FLAIR MR.
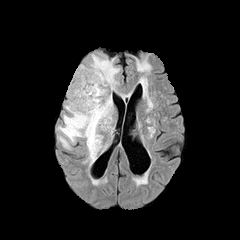
T1-weighted MRI.
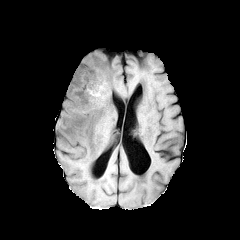
Post-contrast T1-weighted MR image.
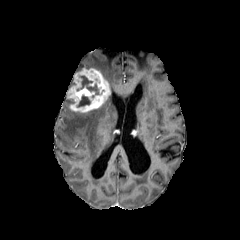
T2-weighted MR.
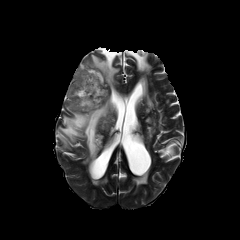
Axial view
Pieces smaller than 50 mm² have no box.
necrotic tumor core = rect(80, 76, 98, 94); rect(78, 96, 90, 106)
enhancing tumor = rect(67, 67, 110, 112)
peritumoral edema = rect(77, 54, 119, 91); rect(58, 93, 113, 164)